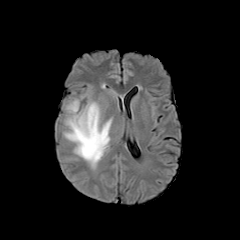
FLAIR MR image.
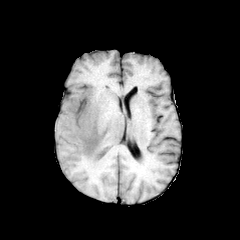
T1-weighted MRI of the same slice.
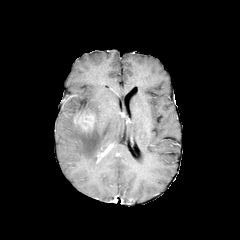
Post-contrast T1-weighted MR.
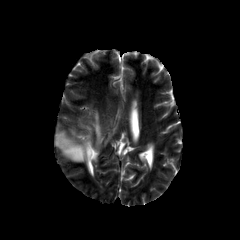
T2-weighted MRI of the same slice.
Brain.
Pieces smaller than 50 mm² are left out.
enhancing tumor: [74, 111, 95, 130] | peritumoral edema: [62, 100, 112, 169]